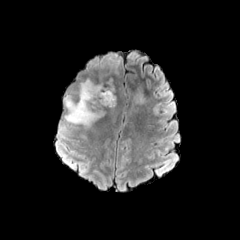
FLAIR magnetic resonance.
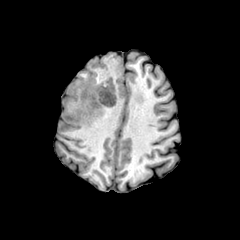
T1-weighted MR.
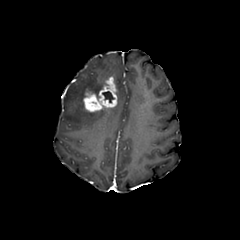
Post-contrast T1-weighted magnetic resonance.
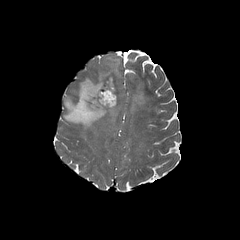
T2-weighted MR image.
Head; 240x240; Axial view
2 peritumoral edema regions are located at left=133, top=87, right=145, bottom=103; left=64, top=54, right=120, bottom=129. The enhancing tumor lies within left=80, top=77, right=117, bottom=112. The necrotic tumor core is located at left=102, top=91, right=114, bottom=102.